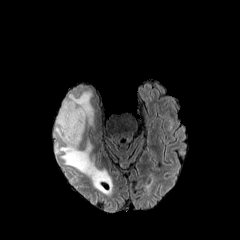
FLAIR MR image.
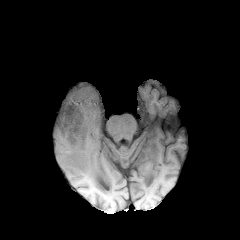
Same slice, T1-weighted MRI.
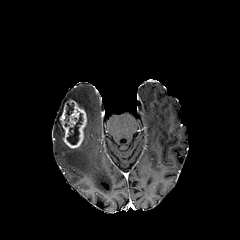
Post-contrast T1-weighted MRI of the same slice.
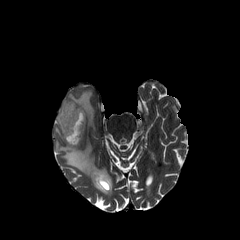
T2-weighted MRI of the same slice.
Brain
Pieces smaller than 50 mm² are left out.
necrotic tumor core: x1=65, y1=103, x2=73, y2=121; x1=66, y1=113, x2=82, y2=144 | peritumoral edema: x1=55, y1=90, x2=112, y2=194 | enhancing tumor: x1=59, y1=100, x2=87, y2=148